FLAIR magnetic resonance.
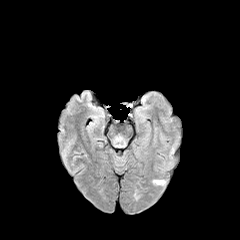
T1-weighted MR.
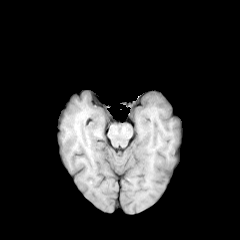
Post-contrast T1-weighted magnetic resonance.
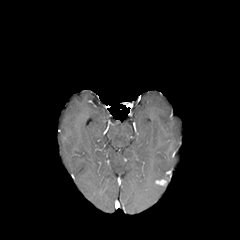
T2-weighted MR image.
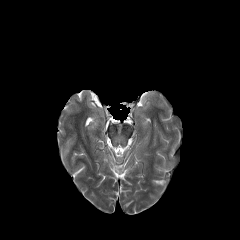
Brain, 240x240 px, Axial plane
<segmentation>
  <enhancing_tumor>153:179:166:185</enhancing_tumor>
</segmentation>